Brain, 240x240 px, Axial plane
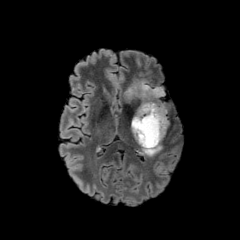
FLAIR MR image.
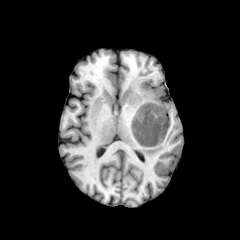
T1-weighted MRI of the same slice.
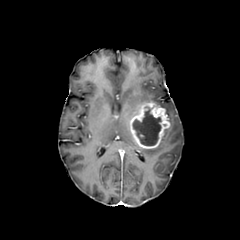
Post-contrast T1-weighted magnetic resonance of the same slice.
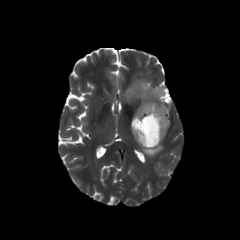
Same slice, T2-weighted MRI.
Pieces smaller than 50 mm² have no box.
peritumoral edema: x1=124, y1=79, x2=167, y2=113; x1=141, y1=142, x2=162, y2=156
necrotic tumor core: x1=133, y1=107, x2=161, y2=145
enhancing tumor: x1=130, y1=102, x2=169, y2=148